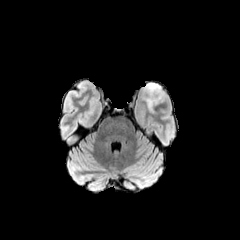
FLAIR magnetic resonance.
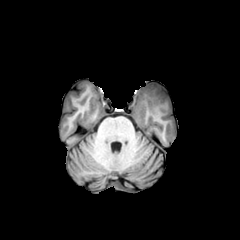
T1-weighted MR image of the same slice.
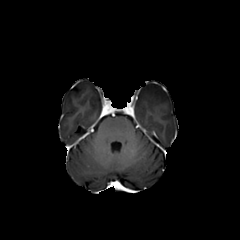
Same slice, post-contrast T1-weighted MR.
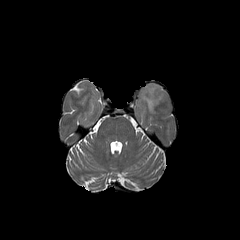
T2-weighted MR image.
Brain, Axial view, 240x240
Segmented structures:
- peritumoral edema: l=144, t=83, r=166, b=114